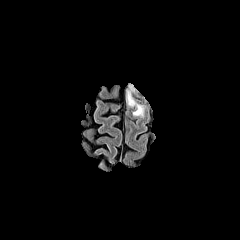
FLAIR magnetic resonance.
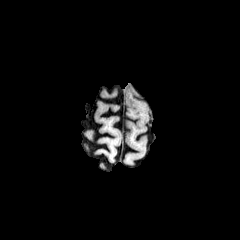
T1-weighted magnetic resonance.
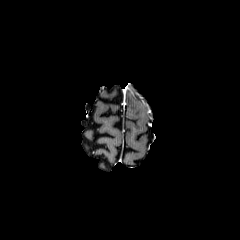
Same slice, post-contrast T1-weighted MR image.
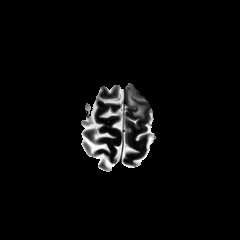
T2-weighted MR of the same slice.
Axial view. Brain.
Segmented structures:
* peritumoral edema: rect(127, 91, 143, 116)